Slice 79/155. Brain.
FLAIR magnetic resonance.
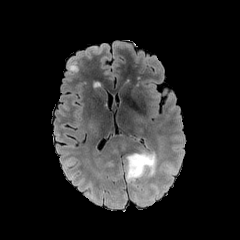
T1-weighted MRI.
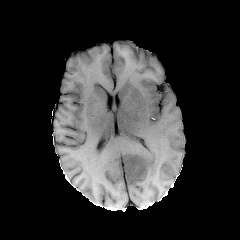
Post-contrast T1-weighted MR.
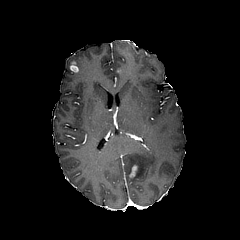
T2-weighted MR.
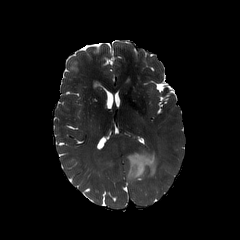
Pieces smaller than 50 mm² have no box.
Annotated regions:
- peritumoral edema: 125, 150, 158, 185
- enhancing tumor: 129, 165, 137, 178; 70, 61, 78, 71